FLAIR MR image.
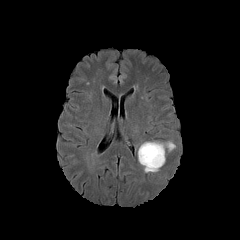
T1-weighted MRI.
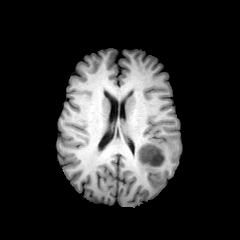
Post-contrast T1-weighted magnetic resonance.
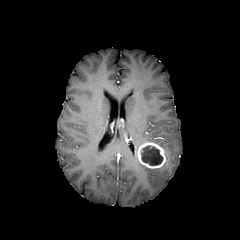
T2-weighted MRI.
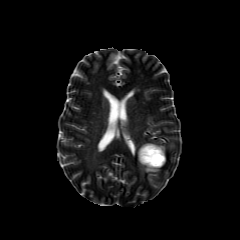
Image size 240x240. Axial view. Brain.
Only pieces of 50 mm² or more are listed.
<segmentation>
  <enhancing_tumor>(137, 142, 165, 168)</enhancing_tumor>
  <peritumoral_edema>(142, 165, 159, 172), (152, 141, 175, 150)</peritumoral_edema>
  <necrotic_tumor_core>(141, 146, 162, 165)</necrotic_tumor_core>
</segmentation>